Slice 79/155; Image covers 240 mm x 240 mm; Brain
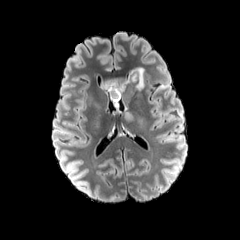
FLAIR MR.
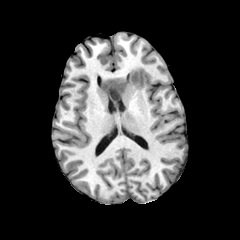
T1-weighted MRI.
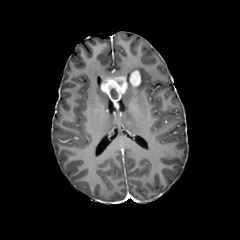
Post-contrast T1-weighted MR.
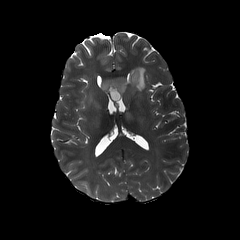
T2-weighted MRI.
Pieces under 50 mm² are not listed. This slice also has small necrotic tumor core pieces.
peritumoral_edema:
  - (x1=87, y1=95, x2=98, y2=106)
  - (x1=124, y1=112, x2=133, y2=122)
  - (x1=125, y1=66, x2=145, y2=89)
enhancing_tumor:
  - (x1=130, y1=70, x2=141, y2=87)
  - (x1=100, y1=76, x2=127, y2=109)